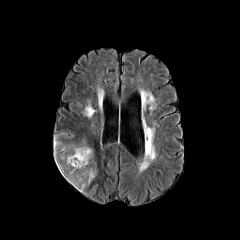
FLAIR MRI.
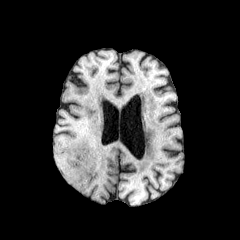
T1-weighted MR.
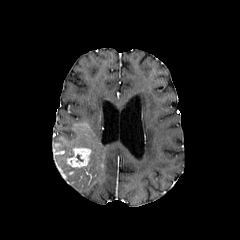
Post-contrast T1-weighted MR image.
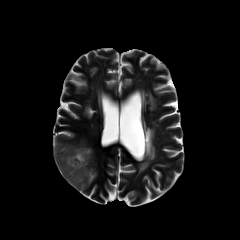
T2-weighted MRI of the same slice.
Head
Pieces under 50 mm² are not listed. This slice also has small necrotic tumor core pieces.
<segmentation>
  <peritumoral_edema>[54,152,95,192], [53,137,88,152]</peritumoral_edema>
  <enhancing_tumor>[67,148,91,167]</enhancing_tumor>
</segmentation>